Head. 240x240 px.
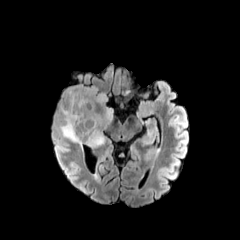
FLAIR MR image.
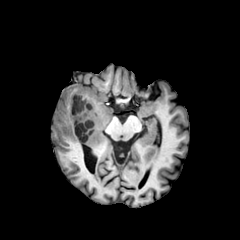
T1-weighted MR.
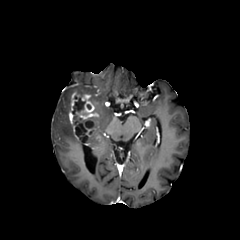
Same slice, post-contrast T1-weighted MR.
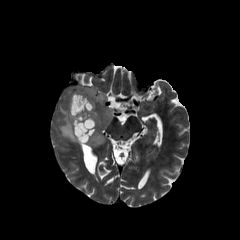
T2-weighted magnetic resonance.
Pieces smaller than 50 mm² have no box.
• enhancing tumor: 69 92 98 144
• necrotic tumor core: 75 121 93 142, 72 98 84 113
• peritumoral edema: 75 88 112 147, 59 88 84 147